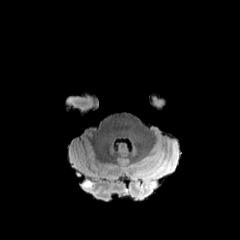
FLAIR magnetic resonance.
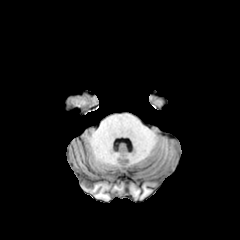
T1-weighted MRI.
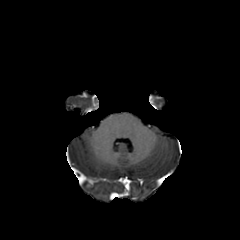
Post-contrast T1-weighted MR image.
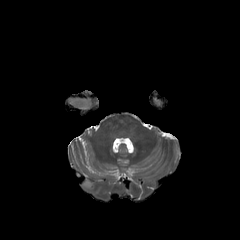
Same slice, T2-weighted MR.
Head
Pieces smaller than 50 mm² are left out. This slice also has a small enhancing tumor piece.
<segmentation>
  <peritumoral_edema>region(82, 176, 97, 190)</peritumoral_edema>
</segmentation>